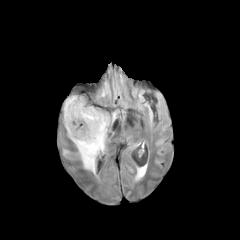
FLAIR MRI.
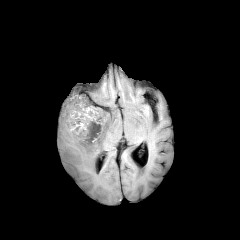
T1-weighted magnetic resonance of the same slice.
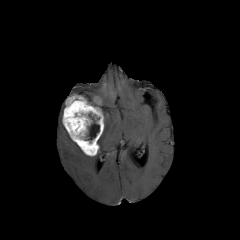
Same slice, post-contrast T1-weighted magnetic resonance.
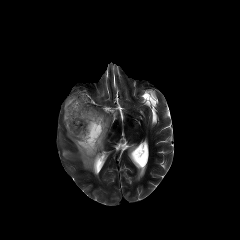
T2-weighted MR image of the same slice.
Head
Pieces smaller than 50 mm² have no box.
Segmented structures:
• necrotic tumor core: <box>87,113,99,140</box>
• peritumoral edema: <box>74,112,116,173</box>
• enhancing tumor: <box>62,94,104,156</box>